Axial view; Slice index 45
FLAIR MR.
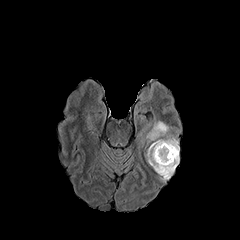
T1-weighted MR.
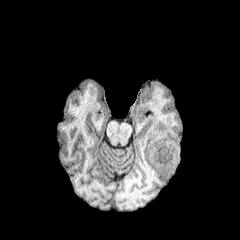
Post-contrast T1-weighted MR.
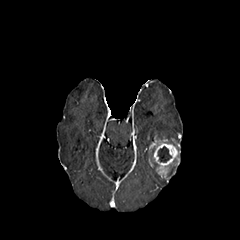
T2-weighted MR image.
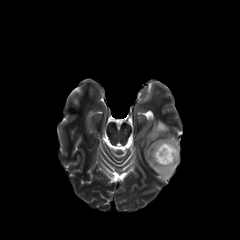
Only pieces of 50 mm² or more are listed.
{
  "peritumoral_edema": [
    "146:121:174:142",
    "168:165:176:178"
  ],
  "necrotic_tumor_core": [
    "158:146:171:162"
  ],
  "enhancing_tumor": [
    "149:136:179:178"
  ]
}